Image covers 240 mm x 240 mm | Brain
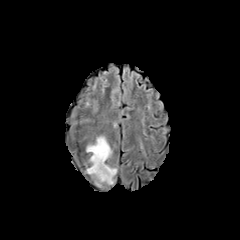
FLAIR MRI.
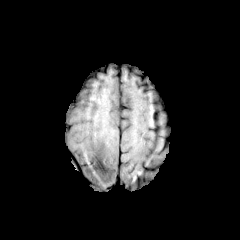
T1-weighted MR.
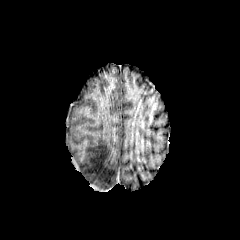
Same slice, post-contrast T1-weighted MR.
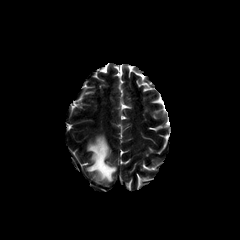
Same slice, T2-weighted magnetic resonance.
peritumoral edema: bounding box region(86, 136, 116, 185)